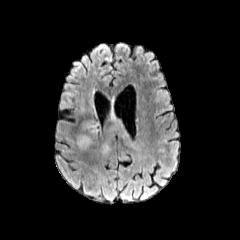
FLAIR MR image.
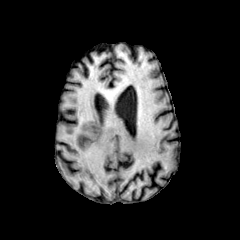
Same slice, T1-weighted MRI.
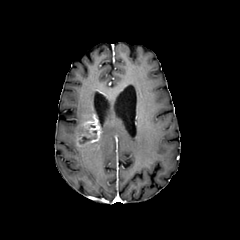
Post-contrast T1-weighted MR.
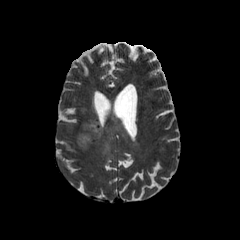
T2-weighted magnetic resonance.
Axial view. Brain.
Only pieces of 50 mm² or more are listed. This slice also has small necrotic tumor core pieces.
<segmentation>
  <peritumoral_edema>bbox=[95, 112, 139, 153]</peritumoral_edema>
  <enhancing_tumor>bbox=[76, 113, 100, 149]</enhancing_tumor>
</segmentation>